Slice 120/155. 240x240 px. Axial view. Head.
FLAIR MR.
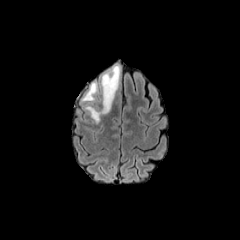
T1-weighted MR.
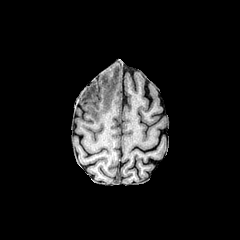
Post-contrast T1-weighted MR.
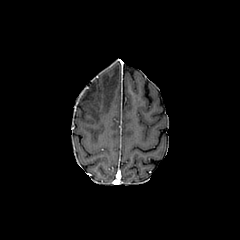
T2-weighted MR image.
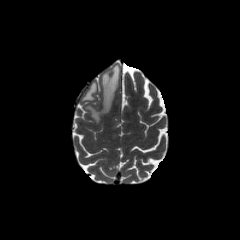
• peritumoral edema: x1=85 y1=65 x2=120 y2=123, x1=82 y1=82 x2=96 y2=101